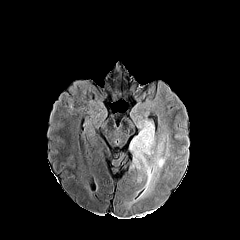
FLAIR magnetic resonance.
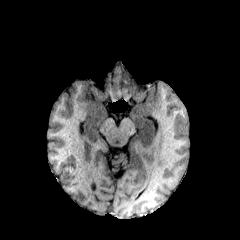
T1-weighted MR of the same slice.
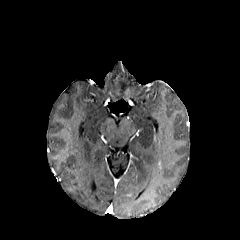
Same slice, post-contrast T1-weighted MR image.
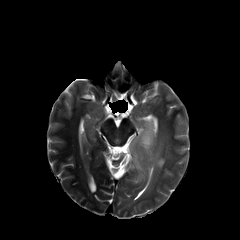
T2-weighted magnetic resonance.
Brain
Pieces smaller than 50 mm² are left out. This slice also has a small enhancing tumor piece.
<segmentation>
  <peritumoral_edema>[130,121,165,197]</peritumoral_edema>
</segmentation>